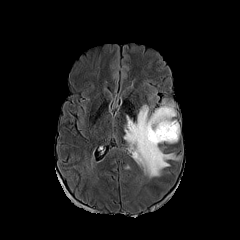
FLAIR MR.
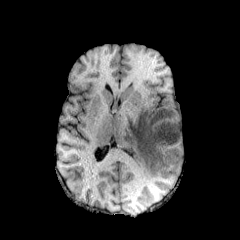
T1-weighted MR.
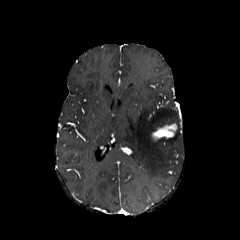
Same slice, post-contrast T1-weighted MR.
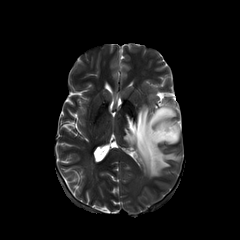
T2-weighted magnetic resonance.
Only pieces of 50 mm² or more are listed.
peritumoral edema at [x1=124, y1=103, x2=179, y2=177]
enhancing tumor at [x1=152, y1=123, x2=177, y2=140]